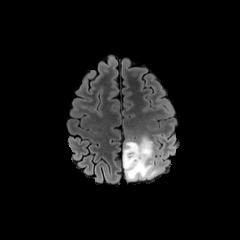
FLAIR MR.
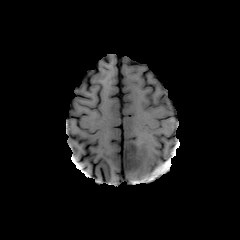
T1-weighted MR of the same slice.
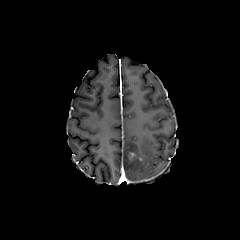
Post-contrast T1-weighted magnetic resonance of the same slice.
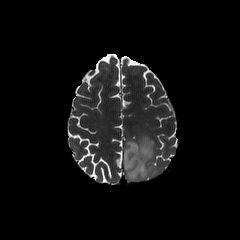
T2-weighted MRI.
Axial slice, Head
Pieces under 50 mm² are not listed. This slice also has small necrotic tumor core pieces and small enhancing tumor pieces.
The peritumoral edema is bounded by rect(123, 135, 165, 180).